Head. Image width 240 mm.
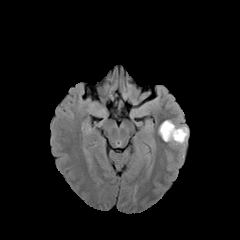
FLAIR MR image.
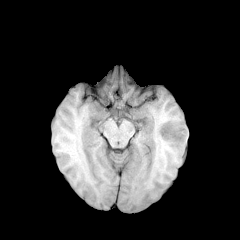
T1-weighted magnetic resonance.
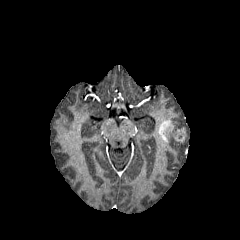
Post-contrast T1-weighted magnetic resonance of the same slice.
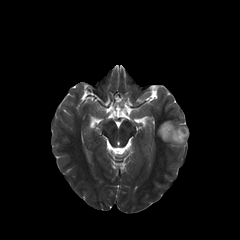
T2-weighted MR image.
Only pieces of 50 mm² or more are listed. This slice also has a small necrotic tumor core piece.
The peritumoral edema is bounded by region(168, 122, 188, 146). 2 enhancing tumor regions are bounded by region(174, 127, 185, 142); region(158, 120, 173, 141).